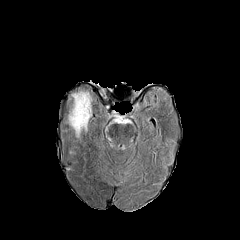
FLAIR magnetic resonance.
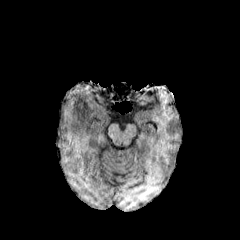
Same slice, T1-weighted magnetic resonance.
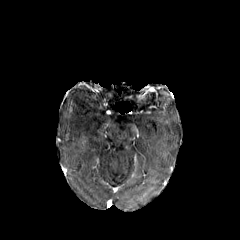
Post-contrast T1-weighted MR.
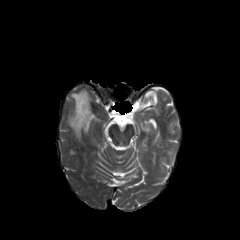
T2-weighted MR image of the same slice.
{
  "peritumoral_edema": [
    {"x1": 69, "y1": 91, "x2": 91, "y2": 134}
  ]
}